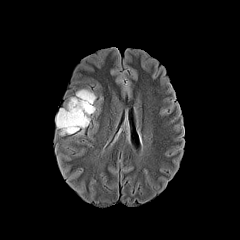
FLAIR MR.
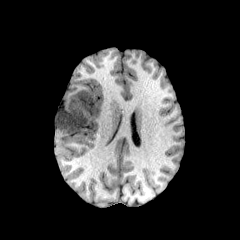
Same slice, T1-weighted MR.
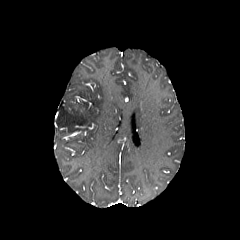
Post-contrast T1-weighted MR image of the same slice.
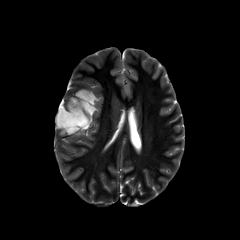
Same slice, T2-weighted MRI.
Brain. Image size 240x240. Axial slice.
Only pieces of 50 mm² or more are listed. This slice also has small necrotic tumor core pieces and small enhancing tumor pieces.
peritumoral edema — region(56, 89, 95, 135)